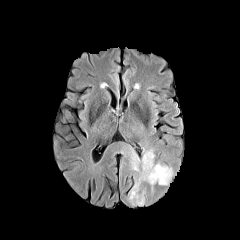
FLAIR MR.
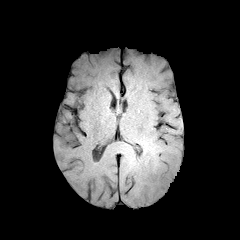
T1-weighted MRI of the same slice.
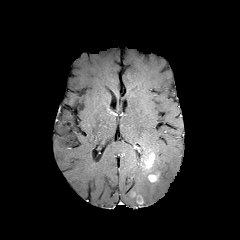
Post-contrast T1-weighted MR image.
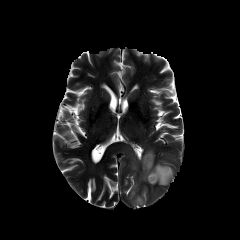
T2-weighted MR of the same slice.
Axial plane
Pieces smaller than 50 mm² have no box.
2 peritumoral edema regions are bounded by 133, 154, 139, 170; 129, 150, 172, 205. The 2 largest enhancing tumor regions are bounded by 144, 153, 154, 169; 148, 174, 158, 182.